FLAIR MR image.
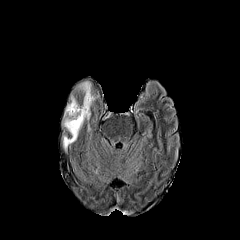
T1-weighted magnetic resonance.
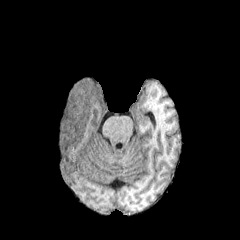
Post-contrast T1-weighted MR image.
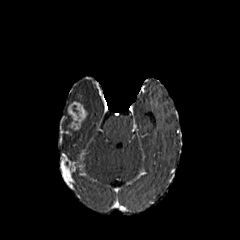
T2-weighted MR.
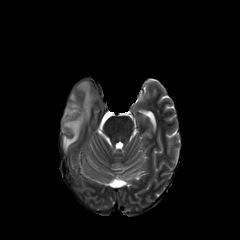
Head; 240x240
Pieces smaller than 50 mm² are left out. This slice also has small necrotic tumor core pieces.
The enhancing tumor lies within box=[67, 101, 87, 130]. The 2 largest peritumoral edema regions are bounded by box=[76, 81, 95, 119]; box=[63, 108, 79, 150].